Axial slice. Brain. Slice index 110.
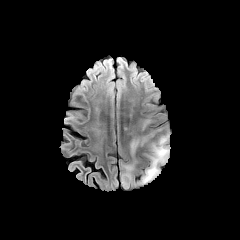
FLAIR MR image.
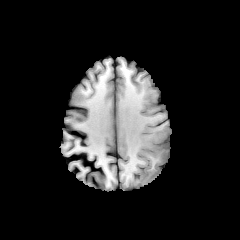
T1-weighted MRI of the same slice.
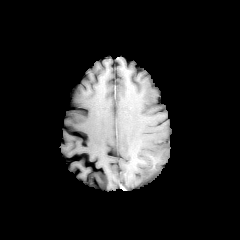
Post-contrast T1-weighted magnetic resonance.
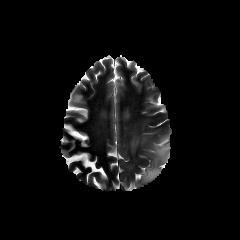
Same slice, T2-weighted MR.
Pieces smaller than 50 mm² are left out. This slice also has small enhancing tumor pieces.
The 2 largest peritumoral edema regions are located at 131:140:138:150, 142:133:170:183.